Head; Axial slice; 240x240 px
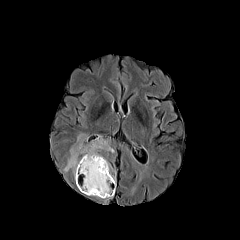
FLAIR magnetic resonance.
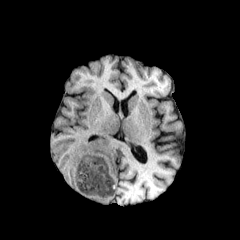
Same slice, T1-weighted MRI.
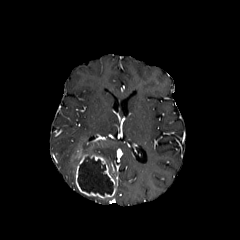
Post-contrast T1-weighted magnetic resonance of the same slice.
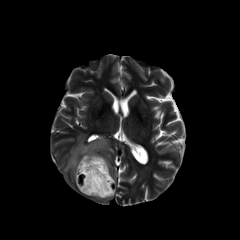
T2-weighted MR.
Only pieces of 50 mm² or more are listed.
necrotic_tumor_core:
  - <bbox>78, 156, 113, 195</bbox>
enhancing_tumor:
  - <bbox>75, 153, 115, 198</bbox>
peritumoral_edema:
  - <bbox>107, 161, 117, 180</bbox>
  - <bbox>64, 133, 114, 176</bbox>